Image covers 240 mm x 240 mm, Axial slice, 240x240, Brain
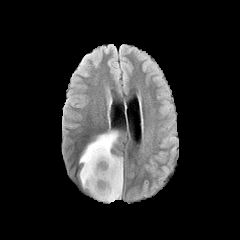
FLAIR MR image.
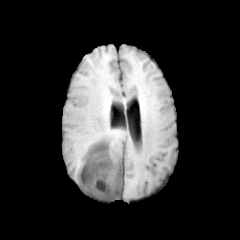
T1-weighted MR image.
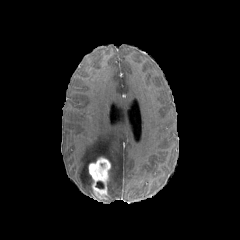
Post-contrast T1-weighted magnetic resonance.
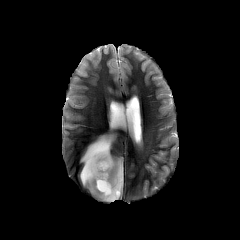
T2-weighted MR image of the same slice.
peritumoral edema: 79, 132, 122, 201
enhancing tumor: 88, 157, 110, 201
necrotic tumor core: 96, 181, 104, 188